240x240 px. Image width 240 mm.
FLAIR MRI.
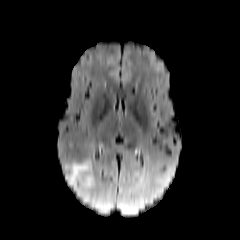
T1-weighted MR.
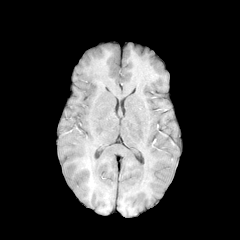
Post-contrast T1-weighted MR.
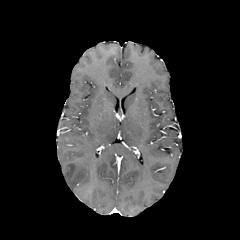
T2-weighted MR.
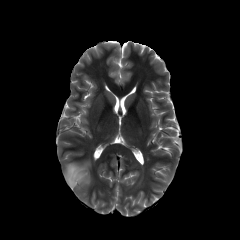
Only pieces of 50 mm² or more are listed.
The largest peritumoral edema region is bounded by x1=65, y1=160, x2=92, y2=196.